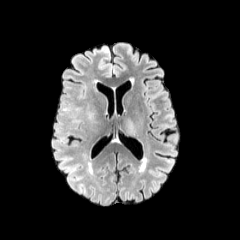
FLAIR MR.
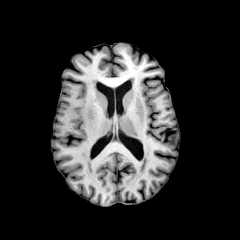
T1-weighted MR.
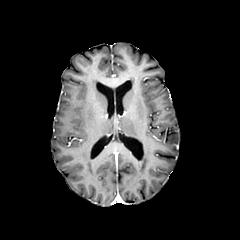
Post-contrast T1-weighted MR image.
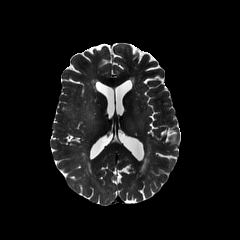
T2-weighted MR image.
Head. 240x240 px. Axial view.
{
  "peritumoral_edema": [
    "[86,104,98,123]"
  ]
}